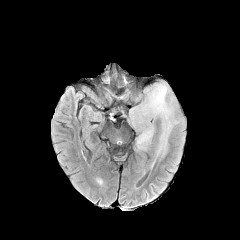
FLAIR MR.
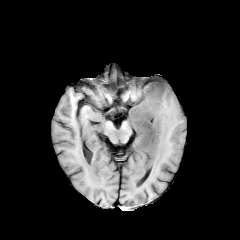
T1-weighted MR.
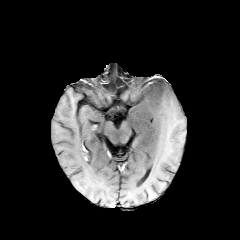
Post-contrast T1-weighted MR of the same slice.
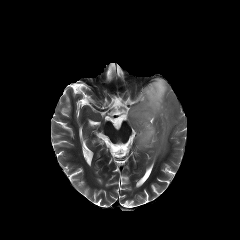
T2-weighted magnetic resonance.
240x240. Brain.
The peritumoral edema lies within {"x1": 128, "y1": 76, "x2": 184, "y2": 159}.